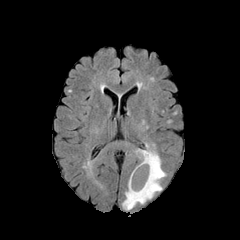
FLAIR magnetic resonance.
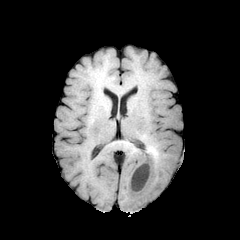
T1-weighted magnetic resonance.
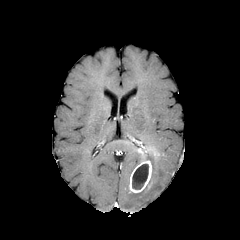
Same slice, post-contrast T1-weighted MR image.
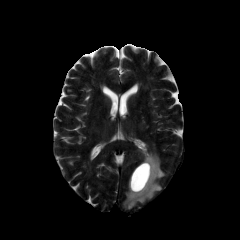
T2-weighted MR of the same slice.
240x240. Brain. Axial view.
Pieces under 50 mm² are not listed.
necrotic tumor core at (132,164,148,189)
enhancing tumor at (129,149,152,192)
peritumoral edema at (122,142,166,210)